FLAIR MR.
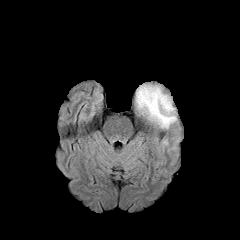
T1-weighted MRI.
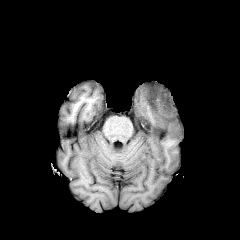
Post-contrast T1-weighted MRI.
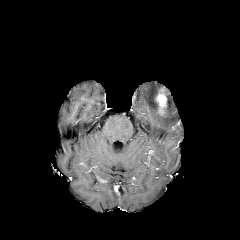
T2-weighted MR.
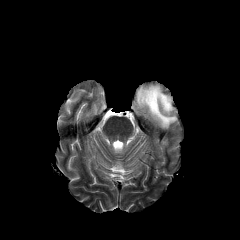
Axial plane
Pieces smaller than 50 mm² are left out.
enhancing tumor = (x1=155, y1=89, x2=167, y2=114)
peritumoral edema = (x1=135, y1=85, x2=177, y2=128)